FLAIR MRI.
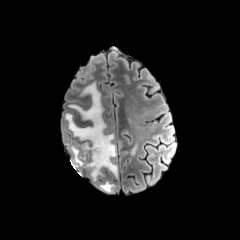
T1-weighted MRI.
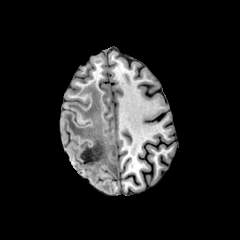
Post-contrast T1-weighted MR image.
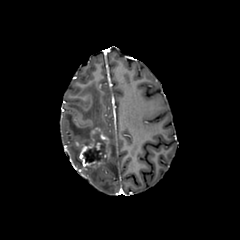
T2-weighted MR image.
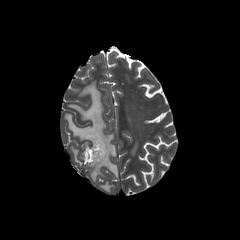
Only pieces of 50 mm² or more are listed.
necrotic tumor core: [83,132,106,163]
enhancing tumor: [79,127,110,169]
peritumoral edema: [65,82,118,181], [131,144,137,155], [99,181,115,192]